FLAIR MRI.
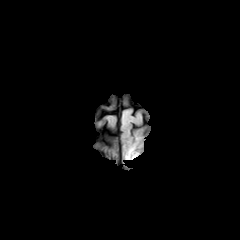
T1-weighted MRI.
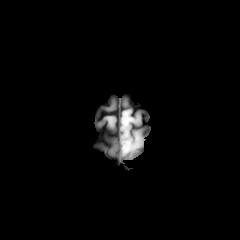
Post-contrast T1-weighted MR image.
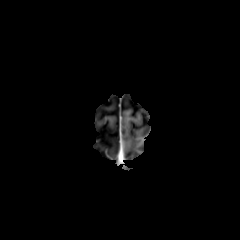
T2-weighted MR.
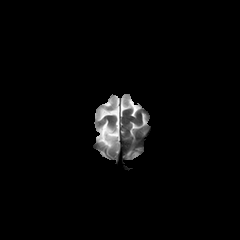
Head
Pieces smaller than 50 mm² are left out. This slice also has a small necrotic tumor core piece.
The peritumoral edema is bounded by bbox=[125, 146, 134, 159]. The enhancing tumor is at bbox=[131, 149, 141, 158].